FLAIR MR.
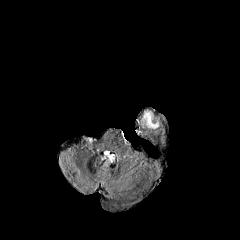
T1-weighted MR.
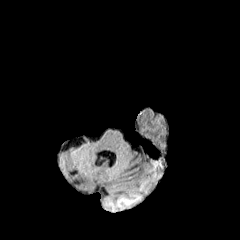
Post-contrast T1-weighted MR image.
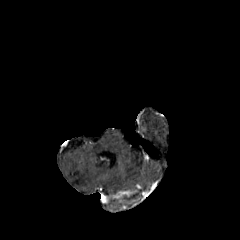
T2-weighted MRI.
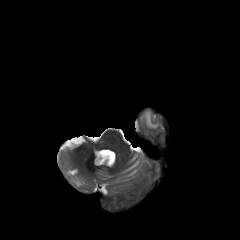
Head. 240x240 px.
{"peritumoral_edema": ["<box>143,111,158,128</box>"]}